FLAIR magnetic resonance.
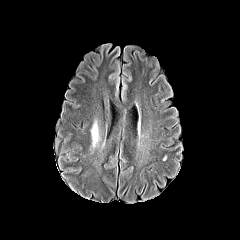
T1-weighted MR image.
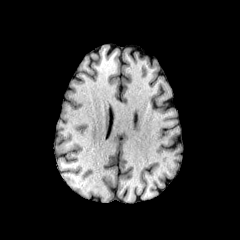
Post-contrast T1-weighted MR.
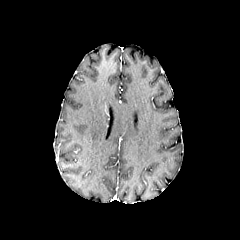
T2-weighted MR image.
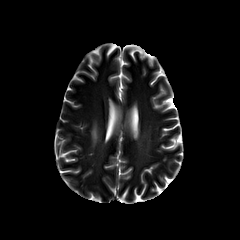
240x240. Head.
peritumoral edema: l=91, t=122, r=99, b=147